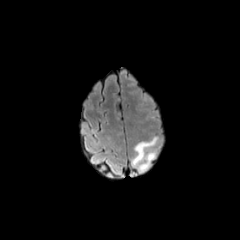
FLAIR magnetic resonance.
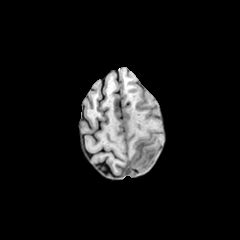
T1-weighted magnetic resonance.
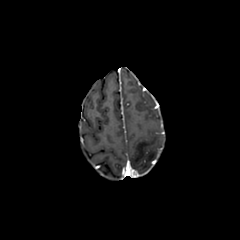
Post-contrast T1-weighted MRI.
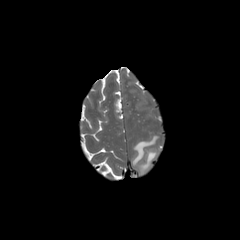
T2-weighted MRI.
Brain.
The peritumoral edema appears at l=132, t=136, r=157, b=172.